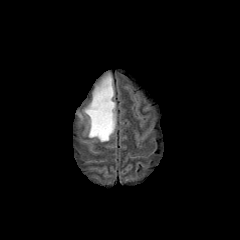
FLAIR MR image.
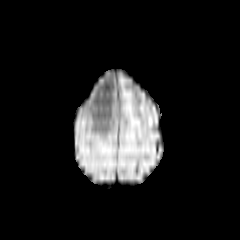
T1-weighted magnetic resonance of the same slice.
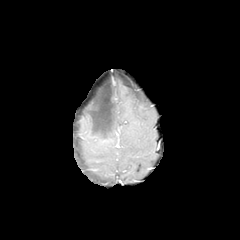
Post-contrast T1-weighted MR.
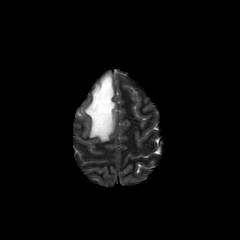
T2-weighted magnetic resonance.
Axial slice
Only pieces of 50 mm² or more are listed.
peritumoral edema — {"x1": 83, "y1": 73, "x2": 116, "y2": 141}